FLAIR magnetic resonance.
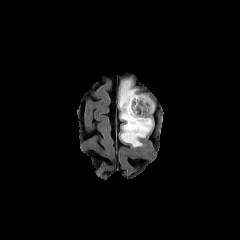
T1-weighted MR image.
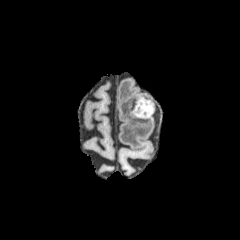
Post-contrast T1-weighted MR.
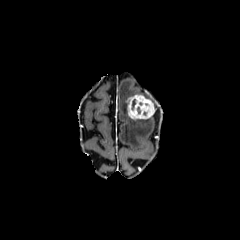
T2-weighted MR image.
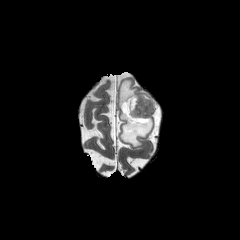
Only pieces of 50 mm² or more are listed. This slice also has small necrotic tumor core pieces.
enhancing tumor: bounding box region(126, 95, 154, 120)
peritumoral edema: bounding box region(119, 80, 152, 146)